Image size 240x240; Brain
FLAIR MRI.
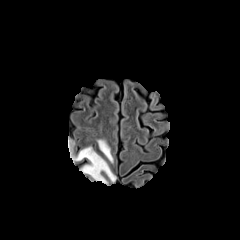
T1-weighted MRI.
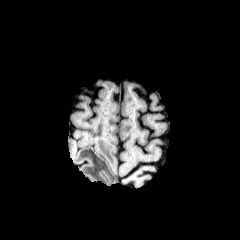
Post-contrast T1-weighted magnetic resonance.
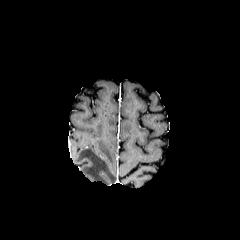
T2-weighted MR image.
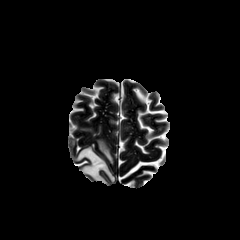
Segmented structures:
• peritumoral edema: (74, 147, 115, 184), (97, 140, 113, 163)